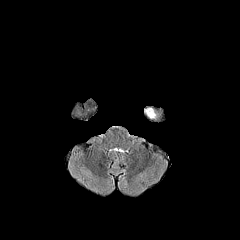
FLAIR magnetic resonance.
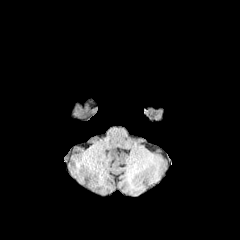
T1-weighted MR image of the same slice.
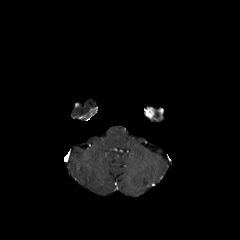
Post-contrast T1-weighted MR image of the same slice.
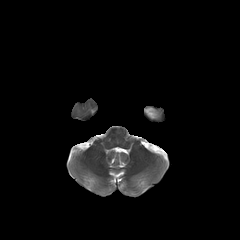
T2-weighted MR.
Axial view
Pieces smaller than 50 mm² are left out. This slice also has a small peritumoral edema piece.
The enhancing tumor is bounded by rect(144, 107, 155, 118).